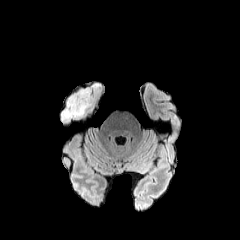
FLAIR MR image.
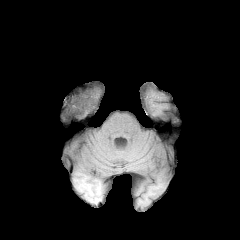
T1-weighted MRI of the same slice.
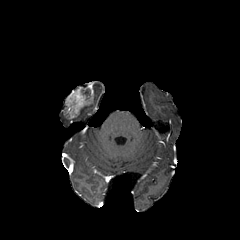
Post-contrast T1-weighted MRI of the same slice.
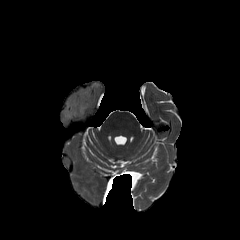
T2-weighted magnetic resonance of the same slice.
Head
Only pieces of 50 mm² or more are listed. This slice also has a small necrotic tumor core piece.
peritumoral edema: l=92, t=83, r=100, b=102; l=78, t=104, r=92, b=116 | enhancing tumor: l=64, t=85, r=93, b=118